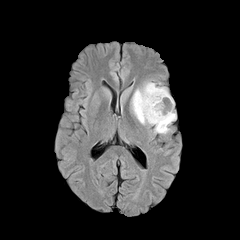
FLAIR MRI.
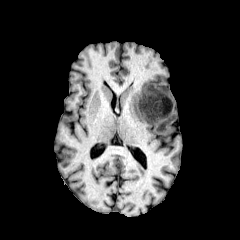
T1-weighted MR image of the same slice.
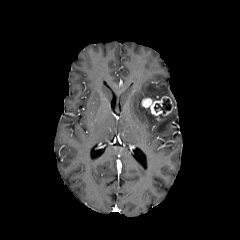
Same slice, post-contrast T1-weighted MRI.
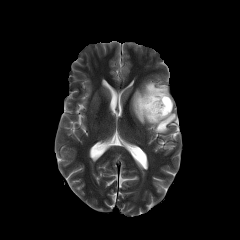
Same slice, T2-weighted magnetic resonance.
Axial view
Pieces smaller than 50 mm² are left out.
Findings:
* enhancing tumor: x1=141 y1=96 x2=173 y2=115
* peritumoral edema: x1=131 y1=82 x2=176 y2=133
* necrotic tumor core: x1=154 y1=98 x2=171 y2=113